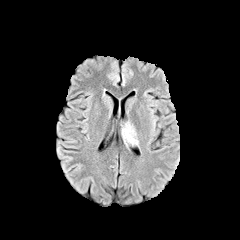
FLAIR MR image.
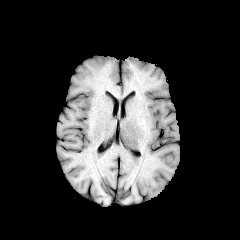
Same slice, T1-weighted MRI.
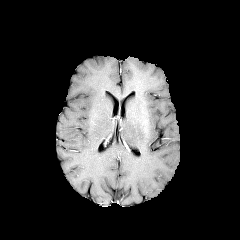
Post-contrast T1-weighted magnetic resonance.
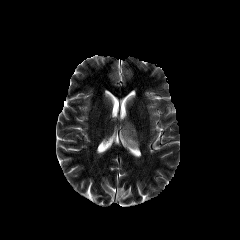
Same slice, T2-weighted MR.
240x240. Brain. Axial slice.
peritumoral edema at 122:123:138:145